240x240, Slice 83/155, Axial plane
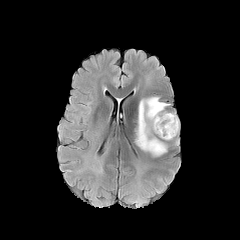
FLAIR MR.
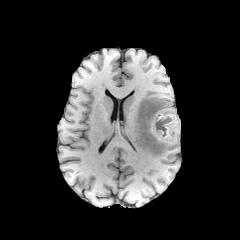
T1-weighted magnetic resonance.
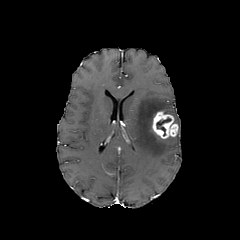
Post-contrast T1-weighted MR.
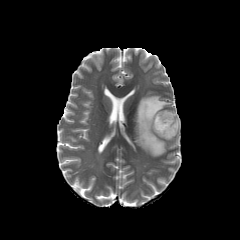
T2-weighted MR.
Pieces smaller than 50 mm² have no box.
peritumoral edema: bounding box {"x1": 135, "y1": 96, "x2": 179, "y2": 156}
necrotic tumor core: bounding box {"x1": 156, "y1": 117, "x2": 170, "y2": 135}
enhancing tumor: bounding box {"x1": 152, "y1": 111, "x2": 178, "y2": 138}